FLAIR magnetic resonance.
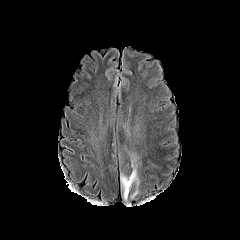
T1-weighted MRI.
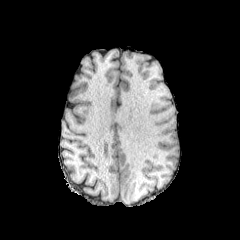
Post-contrast T1-weighted MRI.
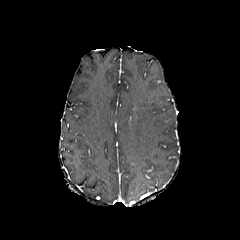
T2-weighted MRI.
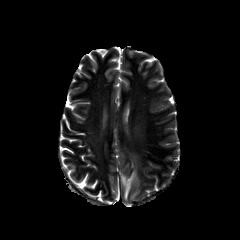
Image size 240x240. Brain.
Segmented structures:
• peritumoral edema: l=121, t=169, r=138, b=200